FLAIR MRI.
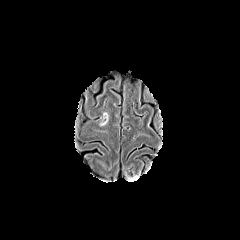
T1-weighted MRI.
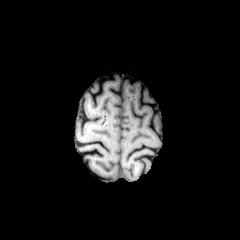
Post-contrast T1-weighted magnetic resonance.
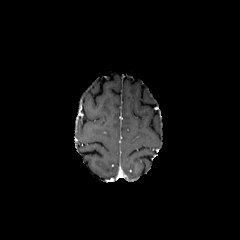
T2-weighted MRI.
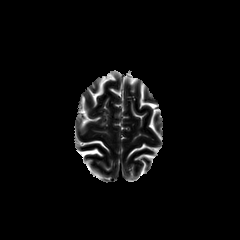
<segmentation>
  <peritumoral_edema>x1=100, y1=113, x2=107, y2=125</peritumoral_edema>
</segmentation>